Brain
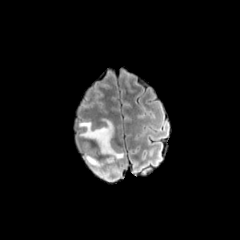
FLAIR MR.
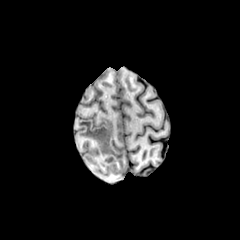
T1-weighted MRI.
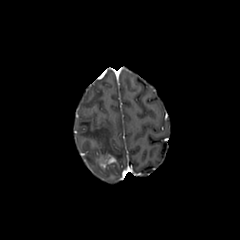
Post-contrast T1-weighted MR.
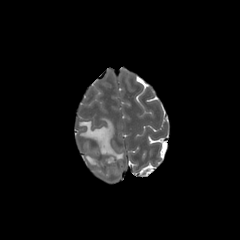
Same slice, T2-weighted MR.
Findings:
- enhancing tumor: {"x1": 98, "y1": 155, "x2": 116, "y2": 168}
- peritumoral edema: {"x1": 86, "y1": 155, "x2": 119, "y2": 178}, {"x1": 79, "y1": 118, "x2": 124, "y2": 160}